FLAIR MR image.
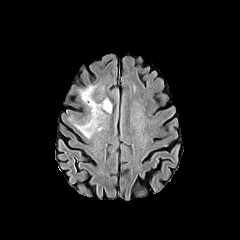
T1-weighted MR.
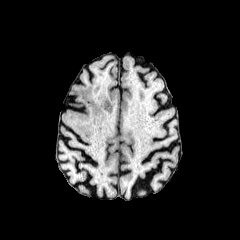
Post-contrast T1-weighted MRI.
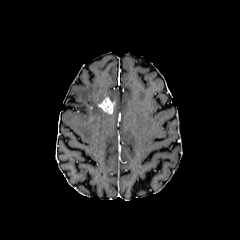
T2-weighted MRI.
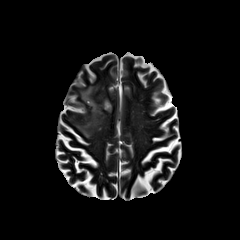
Head, 240x240 px, Axial view
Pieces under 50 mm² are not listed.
peritumoral edema — 74 85 105 138
enhancing tumor — 98 98 113 113